FLAIR MR.
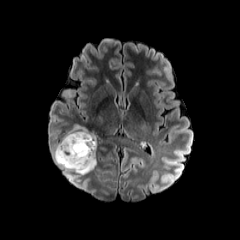
T1-weighted MR image.
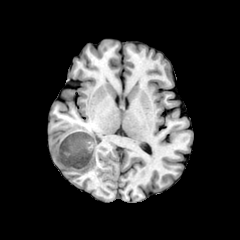
Post-contrast T1-weighted MR image.
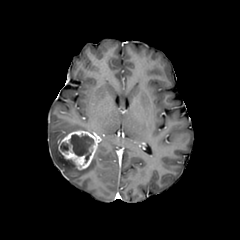
T2-weighted MR image.
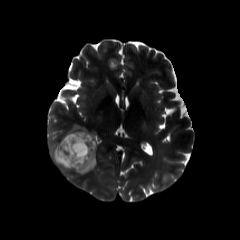
Brain
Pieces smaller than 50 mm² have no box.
2 necrotic tumor core regions are located at [x1=60, y1=142, x2=68, y2=151], [x1=69, y1=133, x2=93, y2=162]. The 2 largest peritumoral edema regions are bounded by [x1=52, y1=142, x2=96, y2=174], [x1=64, y1=124, x2=87, y2=136]. The enhancing tumor appears at [x1=58, y1=130, x2=97, y2=169].